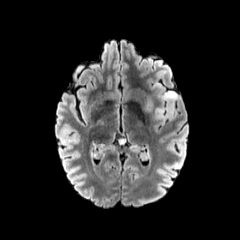
FLAIR MR.
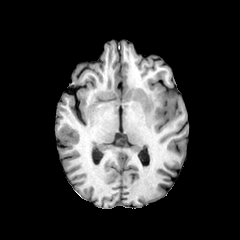
T1-weighted MRI of the same slice.
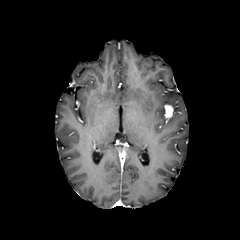
Post-contrast T1-weighted MR image.
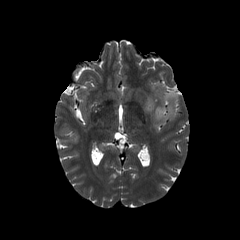
T2-weighted MR image.
Head, Axial view, 240x240
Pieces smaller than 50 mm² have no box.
peritumoral edema at box=[161, 91, 178, 107]; box=[155, 107, 165, 121]
enhancing tumor at box=[164, 105, 173, 118]